FLAIR MR.
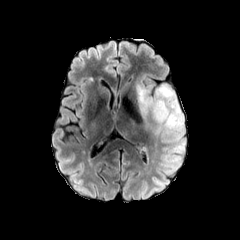
T1-weighted MRI.
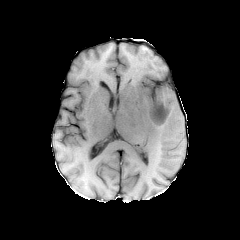
Post-contrast T1-weighted magnetic resonance.
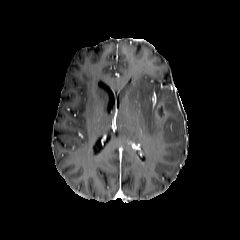
T2-weighted MR.
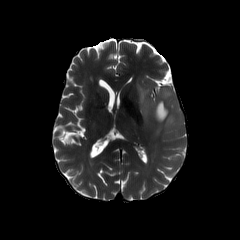
Axial view
peritumoral edema — 136, 78, 183, 134
necrotic tumor core — 158, 106, 163, 117
enhancing tumor — 154, 102, 167, 121